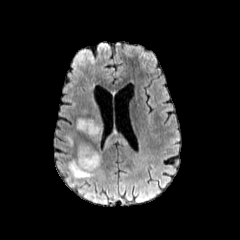
FLAIR MR.
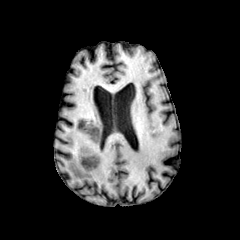
T1-weighted MRI.
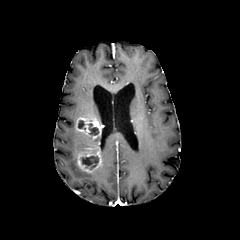
Post-contrast T1-weighted MR image.
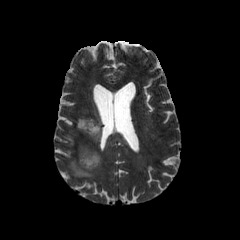
Same slice, T2-weighted MR image.
Axial slice; 240x240 px
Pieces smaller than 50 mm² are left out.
<segmentation>
  <enhancing_tumor>bbox=[76, 117, 102, 172]</enhancing_tumor>
  <necrotic_tumor_core>bbox=[88, 123, 98, 135]; bbox=[81, 156, 98, 169]</necrotic_tumor_core>
  <peritumoral_edema>bbox=[101, 131, 128, 149]; bbox=[68, 159, 98, 178]</peritumoral_edema>
</segmentation>